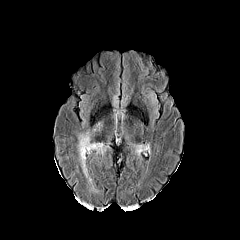
FLAIR MR image.
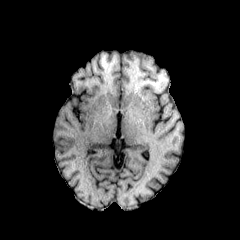
T1-weighted MR image.
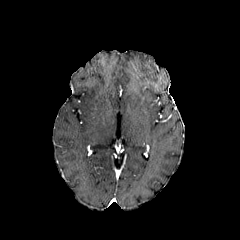
Post-contrast T1-weighted MR image of the same slice.
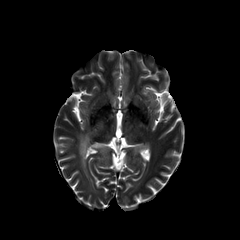
Same slice, T2-weighted MR.
240x240 | Brain
<segmentation>
  <peritumoral_edema>region(135, 145, 144, 154); region(78, 122, 105, 175)</peritumoral_edema>
</segmentation>